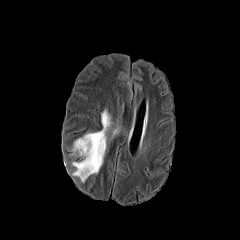
FLAIR MR.
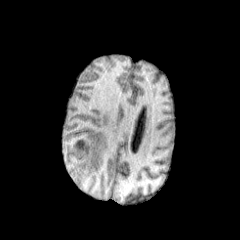
T1-weighted MRI.
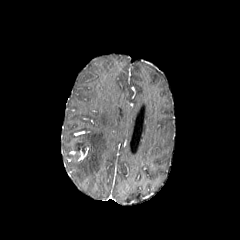
Post-contrast T1-weighted magnetic resonance of the same slice.
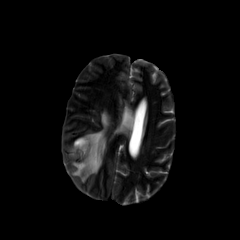
T2-weighted MR image.
240x240 px. Axial view. Head.
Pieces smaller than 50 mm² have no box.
The largest peritumoral edema region is bounded by (left=72, top=109, right=110, bottom=182). The enhancing tumor is located at (left=79, top=147, right=88, bottom=159).